Image size 240x240. Head.
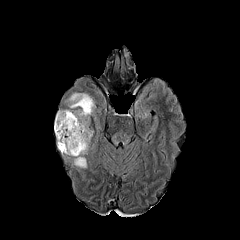
FLAIR magnetic resonance.
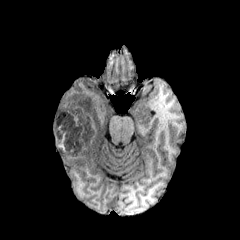
T1-weighted MR image.
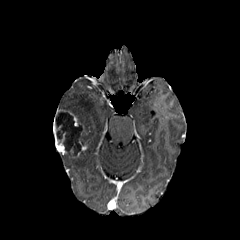
Post-contrast T1-weighted MR image of the same slice.
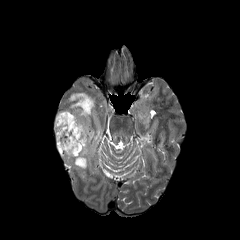
Same slice, T2-weighted MR.
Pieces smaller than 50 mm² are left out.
enhancing tumor = bbox(54, 126, 66, 154); bbox(69, 112, 78, 126)
necrotic tumor core = bbox(56, 113, 89, 155)
peritumoral edema = bbox(55, 93, 94, 145); bbox(66, 154, 86, 168)